FLAIR MRI.
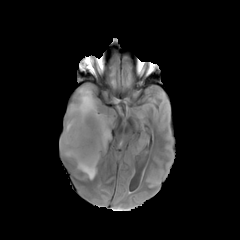
T1-weighted MR.
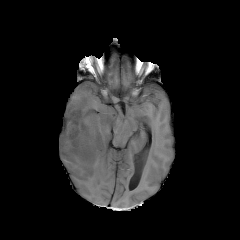
Post-contrast T1-weighted MR image.
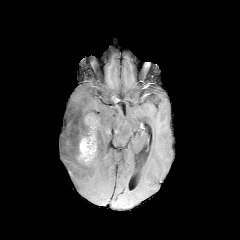
T2-weighted MRI.
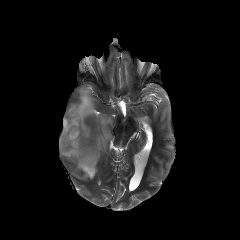
Head | Axial view
<segmentation>
  <enhancing_tumor>left=77, top=115, right=98, bottom=164</enhancing_tumor>
  <peritumoral_edema>left=59, top=84, right=112, bottom=179</peritumoral_edema>
</segmentation>